Head
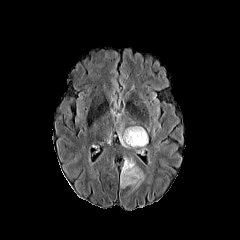
FLAIR magnetic resonance.
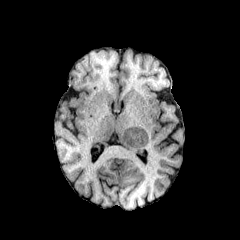
T1-weighted MR.
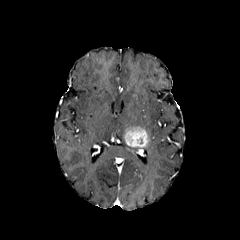
Post-contrast T1-weighted magnetic resonance.
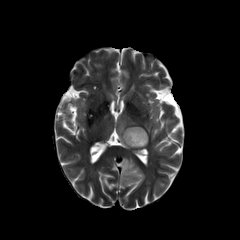
Same slice, T2-weighted MRI.
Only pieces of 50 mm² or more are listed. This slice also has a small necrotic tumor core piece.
The 2 largest peritumoral edema regions appear at 120 155 145 190, 118 128 129 147. The enhancing tumor appears at 123 127 148 147.